Slice 91 of 155, Axial plane
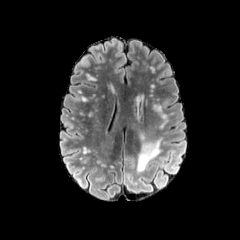
FLAIR MR.
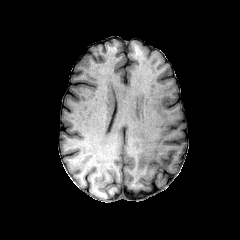
T1-weighted MRI.
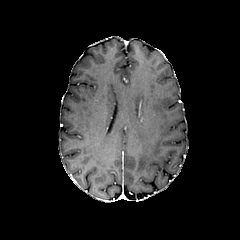
Post-contrast T1-weighted MR image.
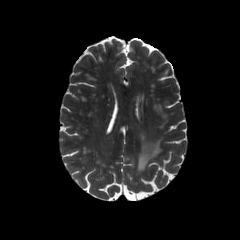
Same slice, T2-weighted MRI.
peritumoral edema: l=137, t=137, r=160, b=173